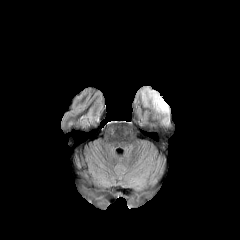
FLAIR magnetic resonance.
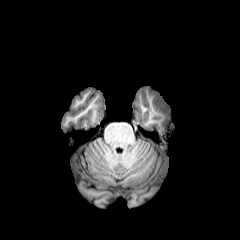
T1-weighted MR image.
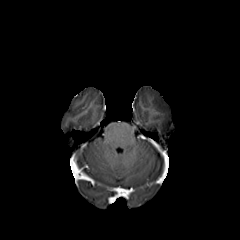
Same slice, post-contrast T1-weighted MRI.
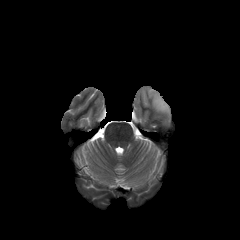
T2-weighted MRI.
Axial plane
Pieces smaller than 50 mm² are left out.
peritumoral edema = l=149, t=91, r=169, b=117